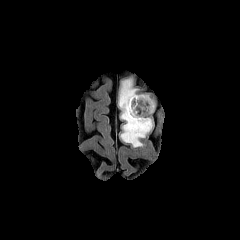
FLAIR MR.
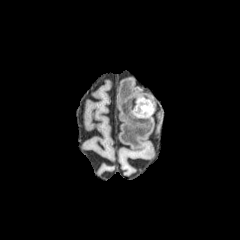
T1-weighted MR image.
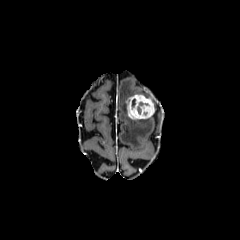
Post-contrast T1-weighted magnetic resonance.
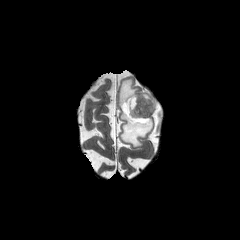
Same slice, T2-weighted MR.
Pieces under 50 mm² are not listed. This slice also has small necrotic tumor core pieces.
{"peritumoral_edema": ["119:79:152:147"], "enhancing_tumor": ["126:94:154:120"]}